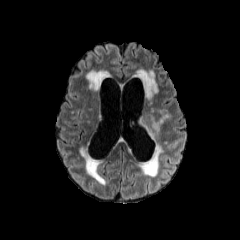
FLAIR MR.
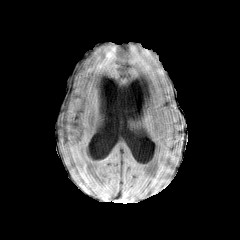
T1-weighted magnetic resonance of the same slice.
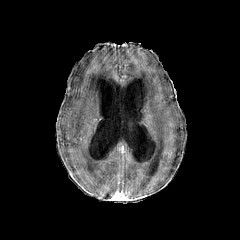
Post-contrast T1-weighted MR.
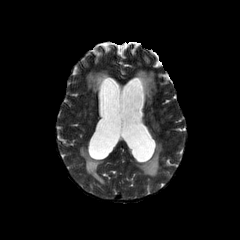
T2-weighted MRI of the same slice.
Brain, Axial view
peritumoral edema: 137, 111, 159, 138